FLAIR MRI.
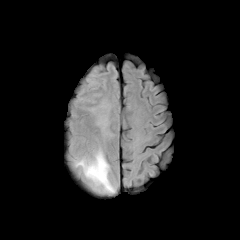
T1-weighted MR image.
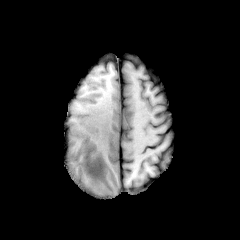
Post-contrast T1-weighted MR.
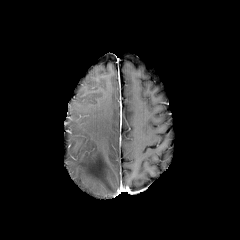
T2-weighted magnetic resonance.
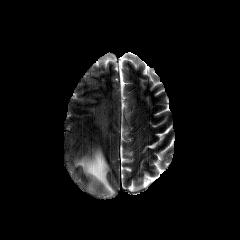
Axial slice
peritumoral edema: l=75, t=149, r=114, b=193